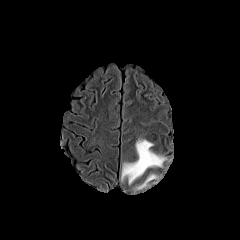
FLAIR MR.
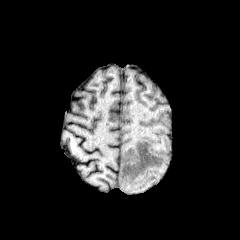
Same slice, T1-weighted magnetic resonance.
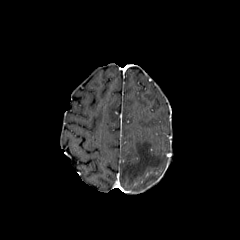
Post-contrast T1-weighted MR image.
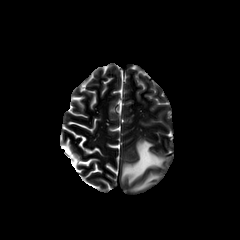
T2-weighted MR.
{"peritumoral_edema": ["bbox(133, 174, 158, 190)", "bbox(121, 139, 166, 184)"]}